FLAIR MR image.
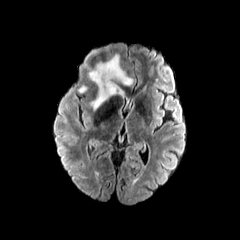
T1-weighted MR.
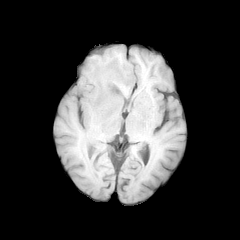
Post-contrast T1-weighted MRI.
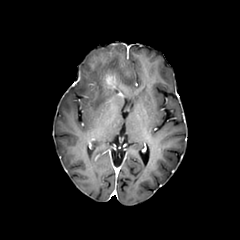
T2-weighted magnetic resonance.
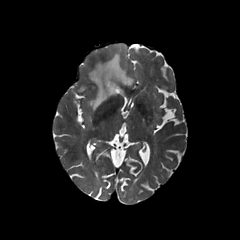
Axial slice | Brain
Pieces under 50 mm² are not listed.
<segmentation>
  <peritumoral_edema>x1=88, y1=54, x2=133, y2=110</peritumoral_edema>
  <enhancing_tumor>x1=105, y1=73, x2=117, y2=92</enhancing_tumor>
</segmentation>